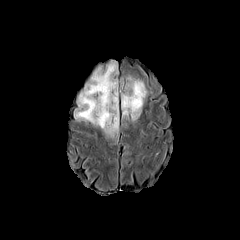
FLAIR MRI.
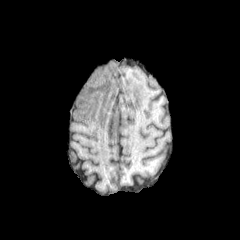
T1-weighted MRI.
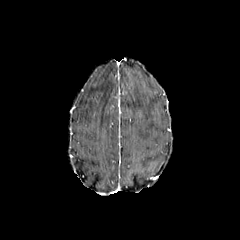
Post-contrast T1-weighted MR.
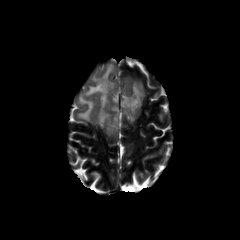
T2-weighted magnetic resonance of the same slice.
Brain; Axial view
<segmentation>
  <peritumoral_edema>bbox(121, 77, 146, 120); bbox(73, 60, 118, 136)</peritumoral_edema>
</segmentation>